Axial view
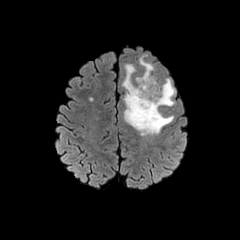
FLAIR MR.
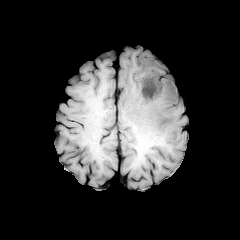
T1-weighted MR image.
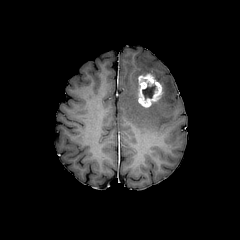
Same slice, post-contrast T1-weighted magnetic resonance.
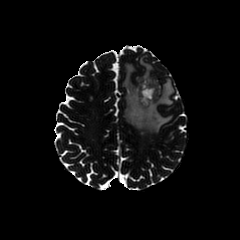
T2-weighted magnetic resonance of the same slice.
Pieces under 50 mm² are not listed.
Annotated regions:
• peritumoral edema: 139, 56, 154, 74; 122, 64, 174, 135
• necrotic tumor core: 142, 85, 155, 98
• enhancing tumor: 137, 73, 163, 107